FLAIR MR.
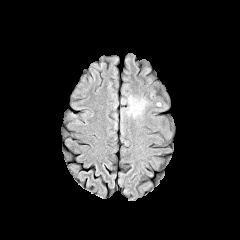
T1-weighted magnetic resonance.
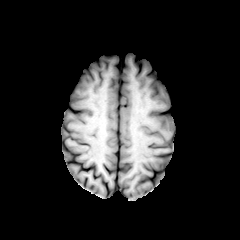
Post-contrast T1-weighted MRI.
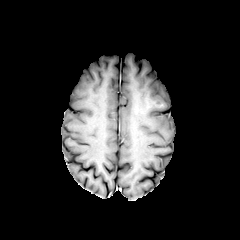
T2-weighted magnetic resonance.
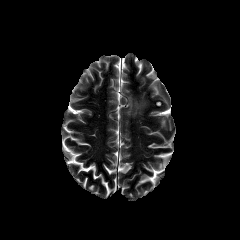
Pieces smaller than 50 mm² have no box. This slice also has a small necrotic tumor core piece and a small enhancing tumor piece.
<segmentation>
  <peritumoral_edema>[x1=127, y1=96, x2=145, y2=116]</peritumoral_edema>
</segmentation>